FLAIR MR.
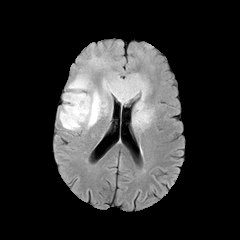
T1-weighted magnetic resonance.
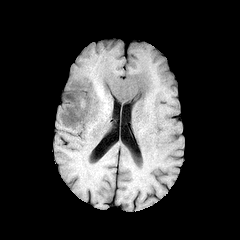
Post-contrast T1-weighted magnetic resonance.
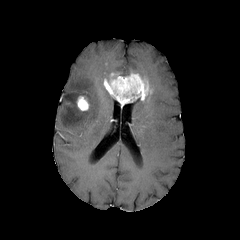
T2-weighted MRI.
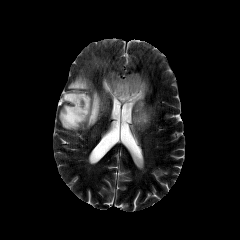
Brain.
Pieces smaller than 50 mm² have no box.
enhancing tumor: {"x1": 103, "y1": 72, "x2": 151, "y2": 105}, {"x1": 76, "y1": 95, "x2": 89, "y2": 111} | peritumoral edema: {"x1": 132, "y1": 99, "x2": 154, "y2": 129}, {"x1": 59, "y1": 69, "x2": 112, "y2": 131}, {"x1": 89, "y1": 55, "x2": 110, "y2": 69}